240x240 px.
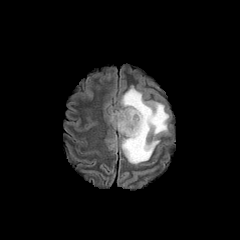
FLAIR MR.
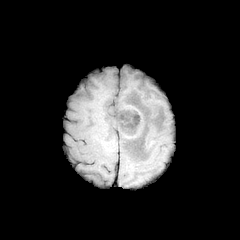
T1-weighted MR image of the same slice.
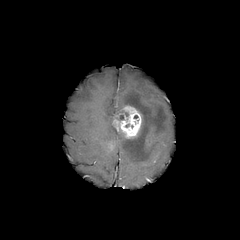
Post-contrast T1-weighted MRI.
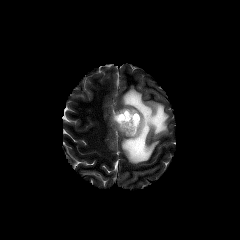
T2-weighted MR.
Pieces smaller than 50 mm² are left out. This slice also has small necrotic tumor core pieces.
peritumoral edema: bounding box [119,86,169,164]
enhancing tumor: bounding box [113,106,141,138]